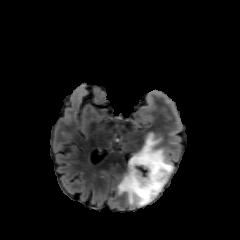
FLAIR MR.
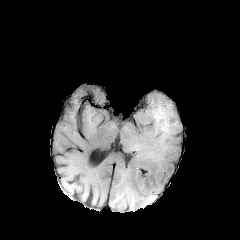
T1-weighted MR image of the same slice.
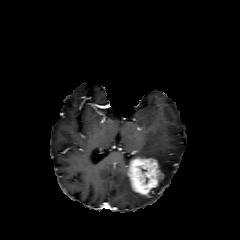
Post-contrast T1-weighted MR.
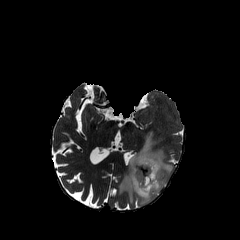
Same slice, T2-weighted MR.
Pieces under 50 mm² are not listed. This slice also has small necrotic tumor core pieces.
enhancing tumor: bbox=[127, 157, 163, 196]
peritumoral edema: bbox=[118, 135, 173, 206]